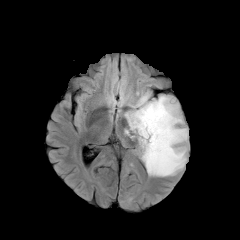
FLAIR magnetic resonance.
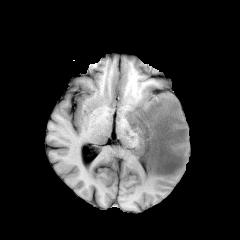
T1-weighted MRI of the same slice.
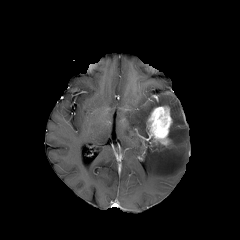
Same slice, post-contrast T1-weighted magnetic resonance.
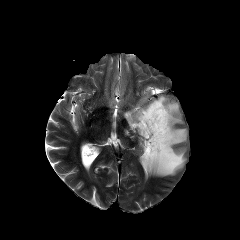
Same slice, T2-weighted MR.
Image size 240x240; Head
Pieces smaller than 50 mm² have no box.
The largest peritumoral edema region is at box=[124, 92, 188, 176]. The enhancing tumor is bounded by box=[147, 106, 172, 146].